FLAIR MR image.
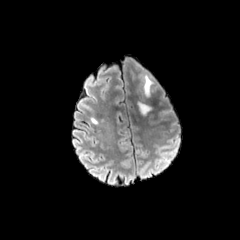
T1-weighted magnetic resonance.
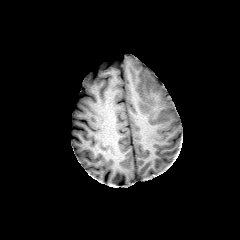
Post-contrast T1-weighted MR.
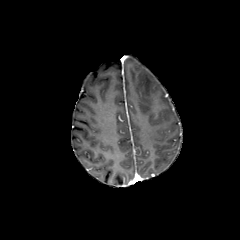
T2-weighted MRI.
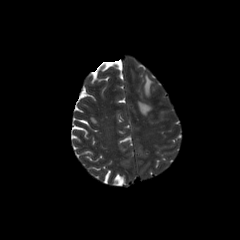
240x240 px | Head
peritumoral edema: <bbox>138, 102, 151, 114</bbox>, <bbox>143, 74, 153, 96</bbox>